Axial view | Image width 240 mm, 1.00 mm slice spacing | Head
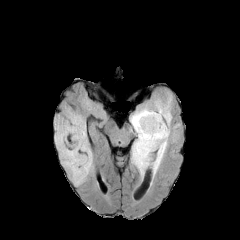
FLAIR MR.
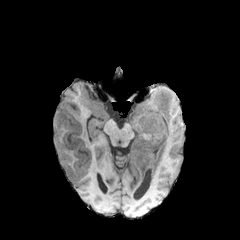
T1-weighted MRI.
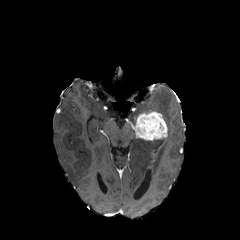
Same slice, post-contrast T1-weighted MRI.
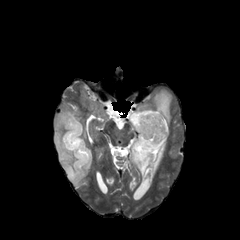
T2-weighted MR.
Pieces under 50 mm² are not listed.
The 2 largest peritumoral edema regions are located at bbox(55, 103, 93, 185); bbox(131, 91, 179, 176). The enhancing tumor appears at bbox(131, 111, 167, 140).